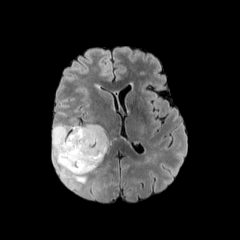
FLAIR MRI.
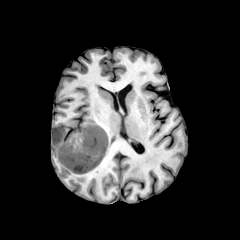
Same slice, T1-weighted magnetic resonance.
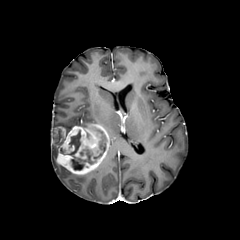
Same slice, post-contrast T1-weighted MR.
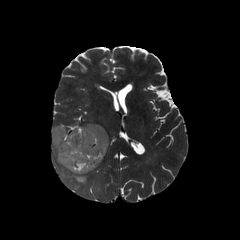
T2-weighted MRI.
Axial slice; Brain
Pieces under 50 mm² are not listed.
necrotic tumor core: x1=93, y1=136, x2=105, y2=159; x1=67, y1=130, x2=93, y2=170 | enhancing tumor: x1=52, y1=123, x2=109, y2=174 | peritumoral edema: x1=52, y1=122, x2=91, y2=133; x1=52, y1=143, x2=86, y2=183